Image width 240 mm, Slice index 82, Head
FLAIR MR.
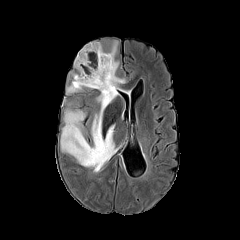
T1-weighted MR image.
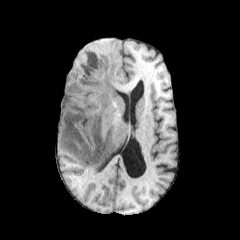
Post-contrast T1-weighted magnetic resonance.
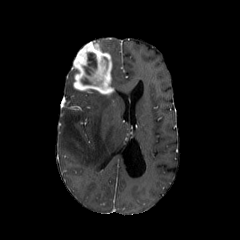
T2-weighted MR image.
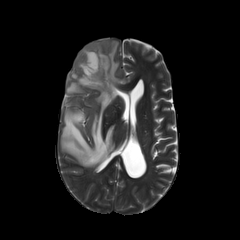
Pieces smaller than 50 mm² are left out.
necrotic tumor core = {"x1": 84, "y1": 53, "x2": 96, "y2": 75}
peritumoral edema = {"x1": 66, "y1": 72, "x2": 81, "y2": 93}, {"x1": 60, "y1": 41, "x2": 125, "y2": 168}
enhancing tumor = {"x1": 72, "y1": 41, "x2": 114, "y2": 95}